Brain; Axial view; 240x240 px
FLAIR MR.
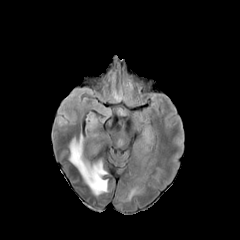
T1-weighted MR image.
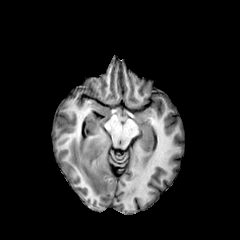
Post-contrast T1-weighted MR.
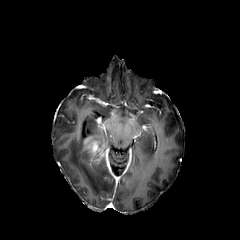
T2-weighted MR image.
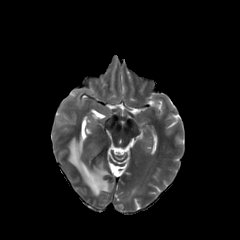
The enhancing tumor is located at [83,137,104,163]. The peritumoral edema is located at [69,136,109,195].